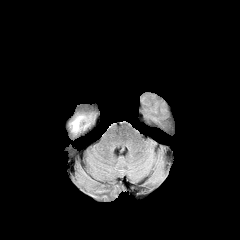
FLAIR MR image.
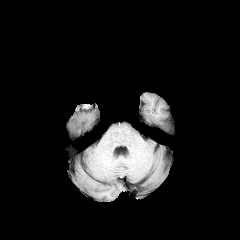
T1-weighted MR of the same slice.
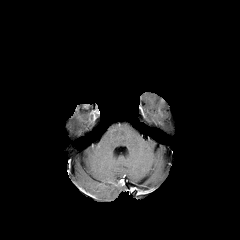
Same slice, post-contrast T1-weighted MR.
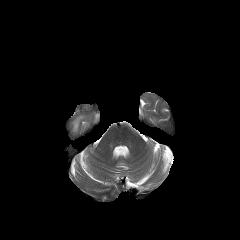
T2-weighted MR.
Axial slice
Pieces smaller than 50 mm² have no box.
peritumoral edema: x1=71 y1=115 x2=85 y2=132